240x240; Brain
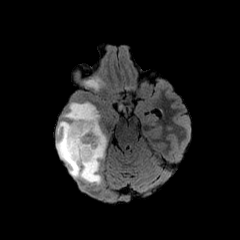
FLAIR magnetic resonance.
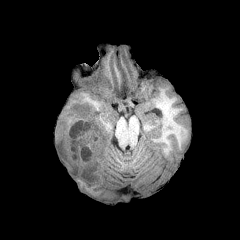
T1-weighted MR image of the same slice.
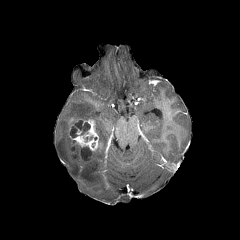
Post-contrast T1-weighted MRI of the same slice.
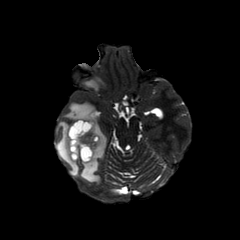
T2-weighted magnetic resonance of the same slice.
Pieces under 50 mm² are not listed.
{"peritumoral_edema": ["83, 77, 104, 89", "56, 102, 106, 185"], "necrotic_tumor_core": ["80, 147, 91, 160", "70, 120, 90, 137"], "enhancing_tumor": ["68, 118, 102, 161"]}